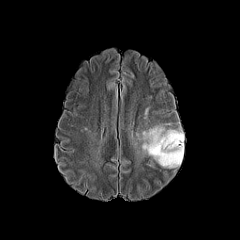
FLAIR magnetic resonance.
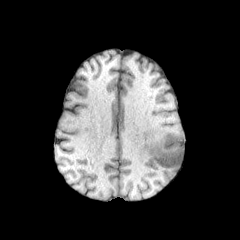
Same slice, T1-weighted MR.
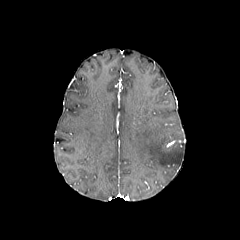
Post-contrast T1-weighted MRI of the same slice.
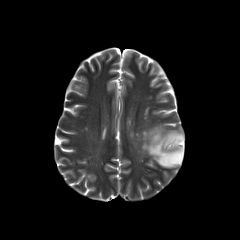
T2-weighted MRI.
peritumoral edema: bounding box (x1=142, y1=125, x2=184, y2=168)